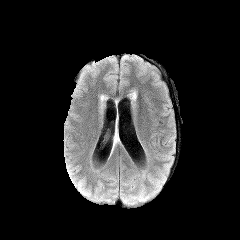
FLAIR MR image.
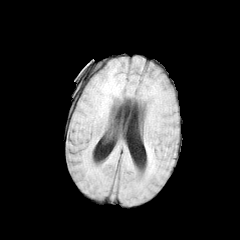
Same slice, T1-weighted magnetic resonance.
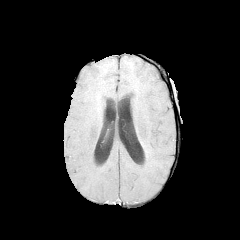
Same slice, post-contrast T1-weighted MR.
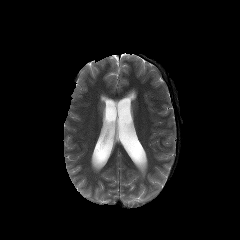
T2-weighted MR.
Brain, 240x240 px
peritumoral edema: l=112, t=127, r=120, b=151